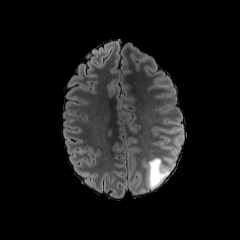
FLAIR MR image.
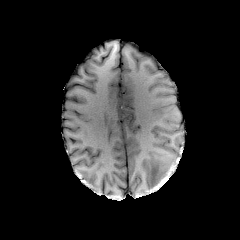
Same slice, T1-weighted MR image.
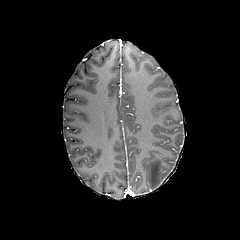
Post-contrast T1-weighted MRI.
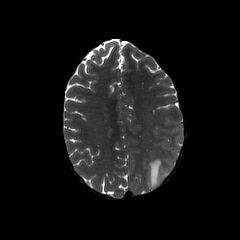
T2-weighted MRI.
Axial plane. Head. 240x240.
peritumoral edema: 145:157:171:189